FLAIR MR.
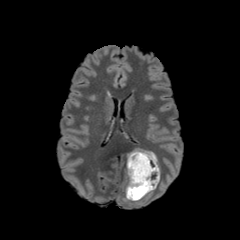
T1-weighted MR.
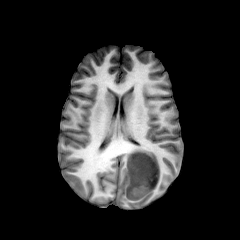
Post-contrast T1-weighted MR image.
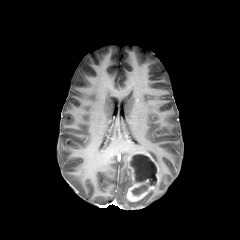
T2-weighted MRI.
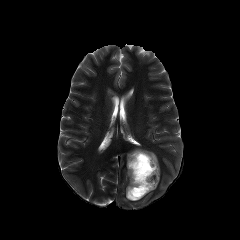
240x240 px
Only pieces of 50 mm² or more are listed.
• peritumoral edema: x1=124 y1=162 x2=131 y2=200, x1=145 y1=150 x2=157 y2=162
• enhancing tumor: x1=127 y1=150 x2=159 y2=201
• necrotic tumor core: x1=130 y1=154 x2=156 y2=195